FLAIR magnetic resonance.
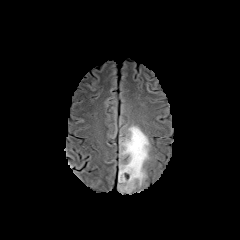
T1-weighted MRI.
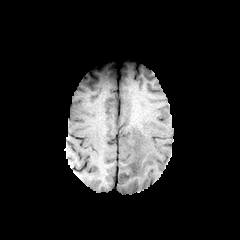
Post-contrast T1-weighted magnetic resonance.
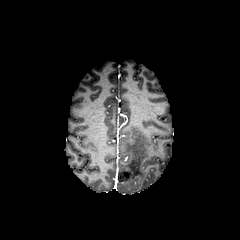
T2-weighted MR.
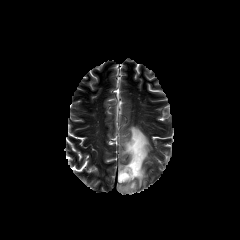
Axial view
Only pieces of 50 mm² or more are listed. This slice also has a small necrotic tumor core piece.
peritumoral edema: left=118, top=126, right=149, bottom=193